FLAIR magnetic resonance.
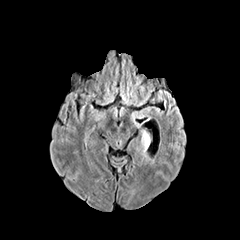
T1-weighted magnetic resonance.
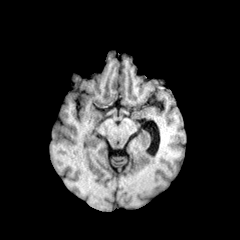
Post-contrast T1-weighted MRI.
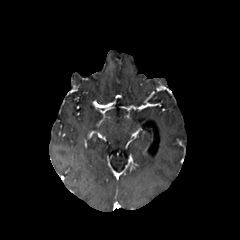
T2-weighted MR image.
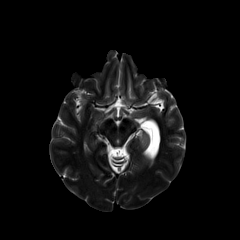
Head
peritumoral edema: bounding box bbox=[142, 135, 149, 149]